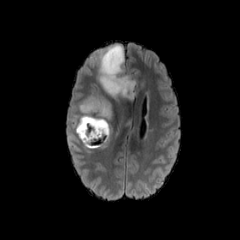
FLAIR magnetic resonance.
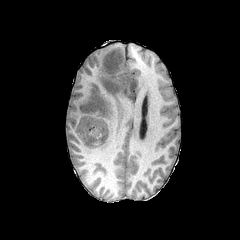
T1-weighted MRI.
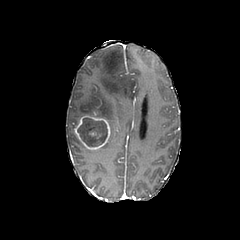
Same slice, post-contrast T1-weighted MR image.
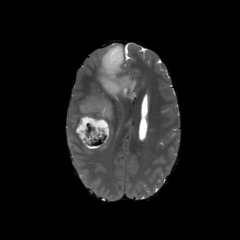
T2-weighted MRI.
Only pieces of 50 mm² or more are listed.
necrotic tumor core — box=[77, 118, 107, 146]
peritumoral edema — box=[139, 79, 147, 93]; box=[116, 102, 123, 125]; box=[67, 44, 137, 154]; box=[124, 114, 135, 132]
enhancing tumor — box=[74, 115, 110, 149]